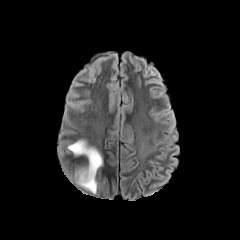
FLAIR MR.
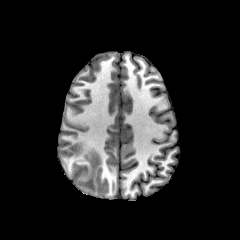
T1-weighted magnetic resonance.
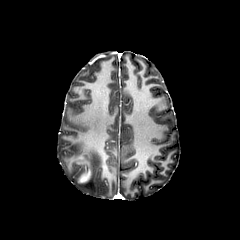
Post-contrast T1-weighted MRI.
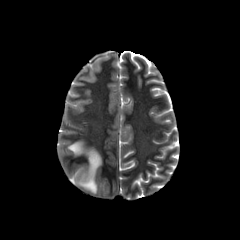
T2-weighted MR of the same slice.
Axial slice
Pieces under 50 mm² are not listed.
enhancing tumor: [x1=79, y1=169, x2=91, y2=182]
peritumoral edema: [x1=68, y1=140, x2=102, y2=193]